FLAIR MR.
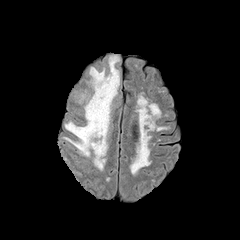
T1-weighted MR image.
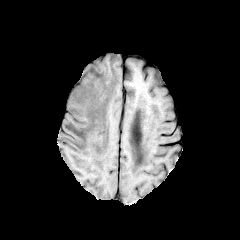
Post-contrast T1-weighted MR.
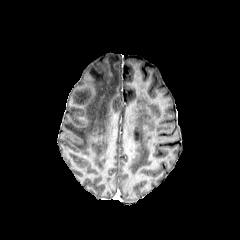
T2-weighted magnetic resonance.
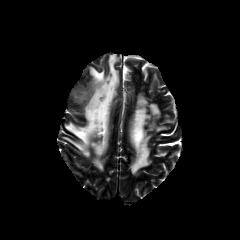
Brain. Axial plane.
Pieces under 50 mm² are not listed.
peritumoral edema: x1=64, y1=55, x2=119, y2=170